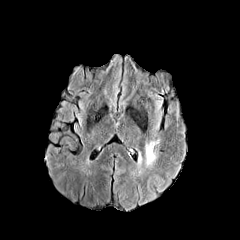
FLAIR MR.
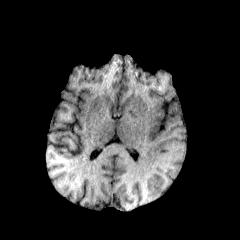
Same slice, T1-weighted magnetic resonance.
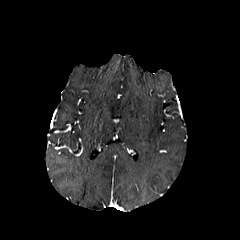
Same slice, post-contrast T1-weighted magnetic resonance.
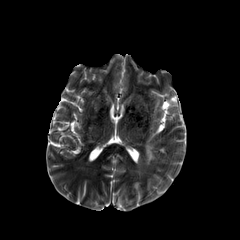
T2-weighted MRI.
Head. Axial view.
{
  "peritumoral_edema": [
    "box=[146, 143, 155, 164]"
  ]
}